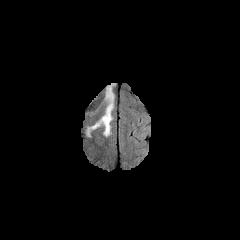
FLAIR magnetic resonance.
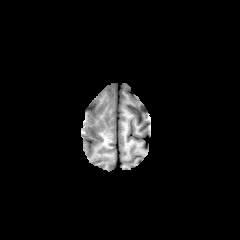
T1-weighted MR of the same slice.
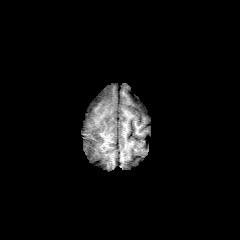
Same slice, post-contrast T1-weighted magnetic resonance.
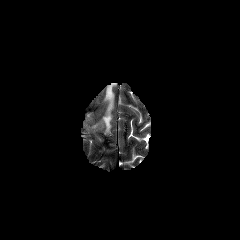
T2-weighted MR.
Axial view | 240x240
{
  "peritumoral_edema": [
    "x1=92 y1=85 x2=113 y2=135"
  ]
}